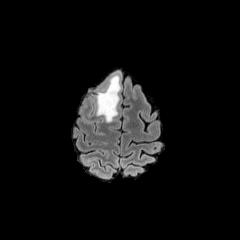
FLAIR magnetic resonance.
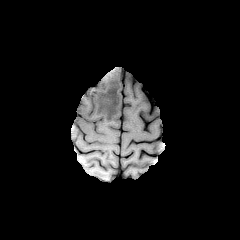
T1-weighted MRI of the same slice.
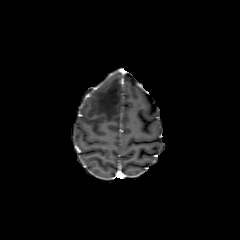
Post-contrast T1-weighted magnetic resonance.
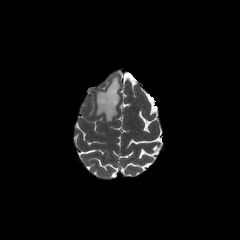
T2-weighted MR image.
Head, Axial view
peritumoral edema: <bbox>95, 73, 120, 122</bbox>